Brain, Slice 71/155
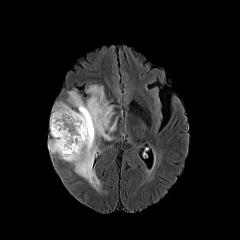
FLAIR MR image.
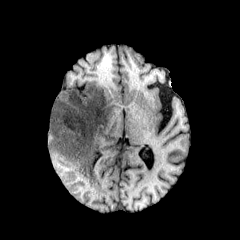
T1-weighted MR image.
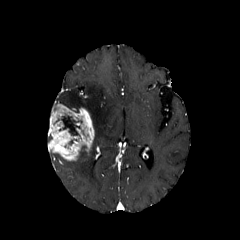
Post-contrast T1-weighted MR.
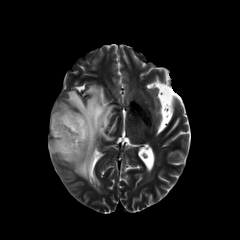
T2-weighted MRI of the same slice.
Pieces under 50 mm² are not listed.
The largest necrotic tumor core region is at 61 116 80 135. The largest peritumoral edema region is bounded by 64 85 117 190. The enhancing tumor is at 48 102 94 161.